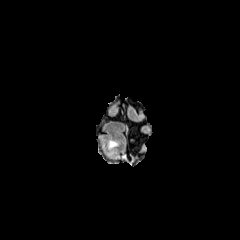
FLAIR magnetic resonance.
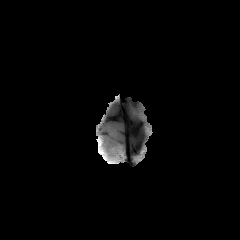
Same slice, T1-weighted MR image.
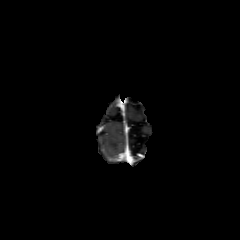
Post-contrast T1-weighted MR.
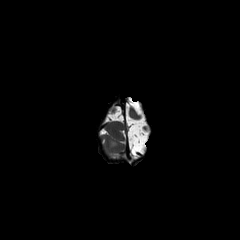
T2-weighted MR image.
peritumoral edema — [x1=107, y1=140, x2=118, y2=149]